FLAIR MR image.
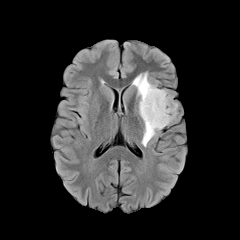
T1-weighted MR.
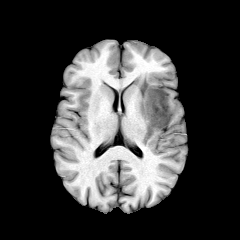
Post-contrast T1-weighted MRI.
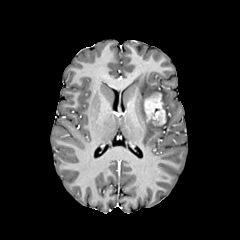
T2-weighted MRI.
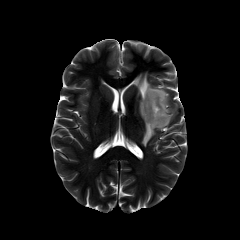
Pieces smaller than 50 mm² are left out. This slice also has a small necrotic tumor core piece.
enhancing tumor: 144 93 165 125 | peritumoral edema: 132 72 177 147